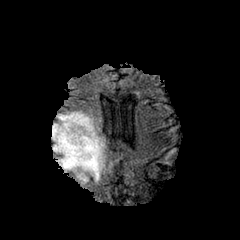
FLAIR MRI.
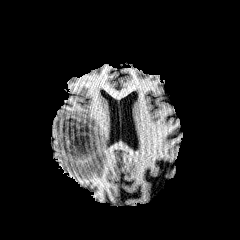
T1-weighted MR of the same slice.
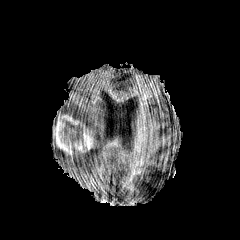
Post-contrast T1-weighted MRI of the same slice.
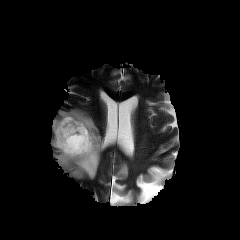
Same slice, T2-weighted magnetic resonance.
Axial plane.
{"necrotic_tumor_core": ["63 125 82 142"], "enhancing_tumor": ["53 114 94 160"], "peritumoral_edema": ["52 110 102 180"]}